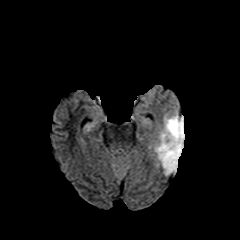
FLAIR MR.
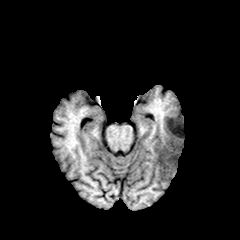
T1-weighted MR.
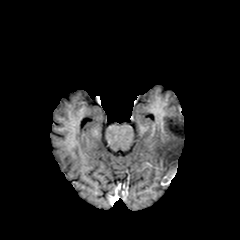
Post-contrast T1-weighted MR.
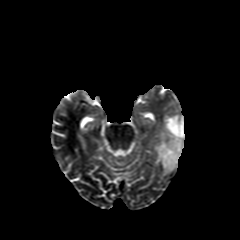
Same slice, T2-weighted MR.
Axial view
The peritumoral edema lies within box=[154, 111, 184, 174].